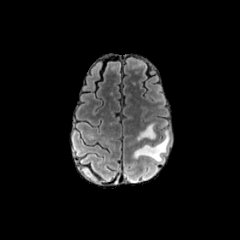
FLAIR MR.
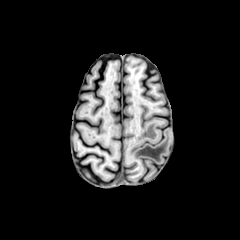
T1-weighted MR of the same slice.
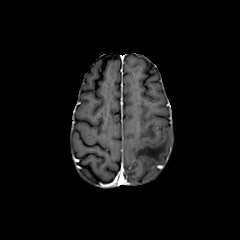
Post-contrast T1-weighted MRI.
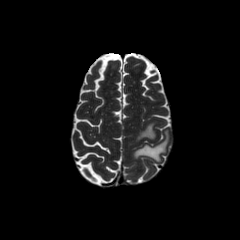
T2-weighted MR image of the same slice.
2 peritumoral edema regions are located at x1=133 y1=130 x2=169 y2=161, x1=137 y1=123 x2=155 y2=140.